FLAIR MR.
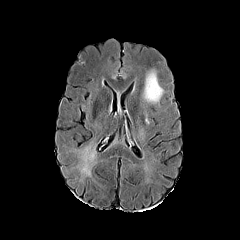
T1-weighted MRI.
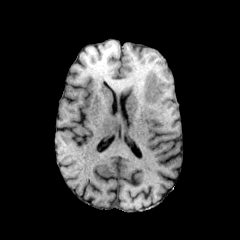
Post-contrast T1-weighted magnetic resonance.
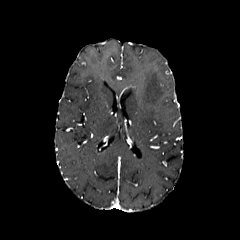
T2-weighted MR image.
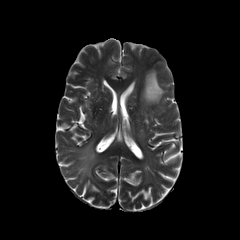
Head; Image size 240x240
peritumoral_edema:
  - 143,70,163,103